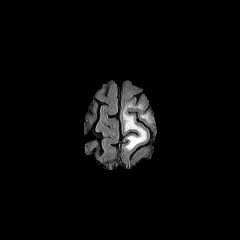
FLAIR MR.
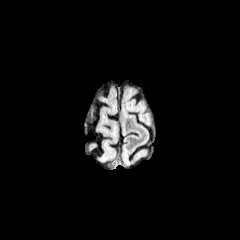
Same slice, T1-weighted MR.
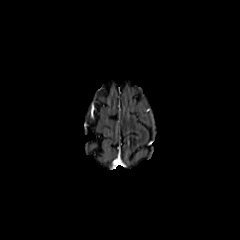
Post-contrast T1-weighted magnetic resonance of the same slice.
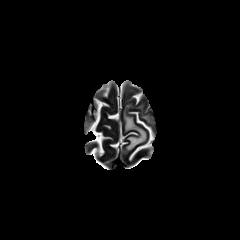
T2-weighted magnetic resonance of the same slice.
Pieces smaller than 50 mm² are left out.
Segmented structures:
- peritumoral edema: <bbox>123, 103, 146, 150</bbox>